Slice 96 of 155; Image covers 240 mm x 240 mm
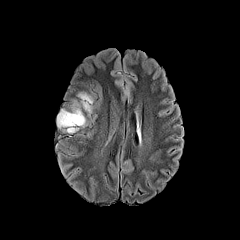
FLAIR MR.
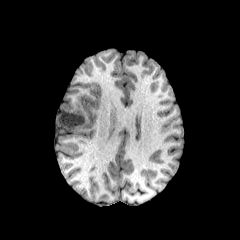
Same slice, T1-weighted MR.
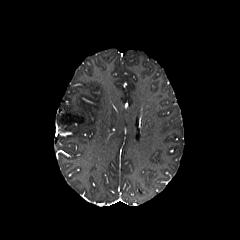
Post-contrast T1-weighted MR.
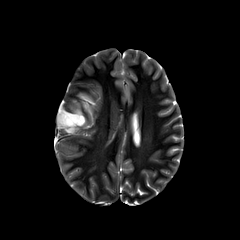
Same slice, T2-weighted MRI.
peritumoral edema = rect(79, 93, 92, 113); rect(57, 104, 86, 132)